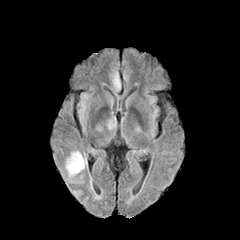
FLAIR MR.
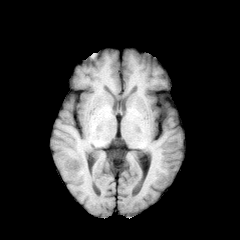
T1-weighted MR image.
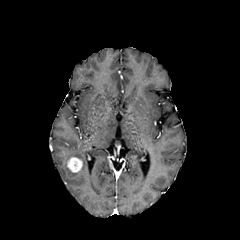
Post-contrast T1-weighted MR image of the same slice.
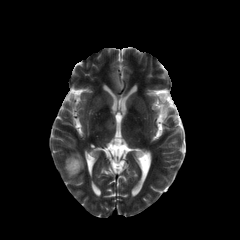
T2-weighted MR.
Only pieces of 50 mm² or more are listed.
The largest peritumoral edema region is at box(65, 151, 85, 181). The enhancing tumor is at box(67, 157, 82, 172).